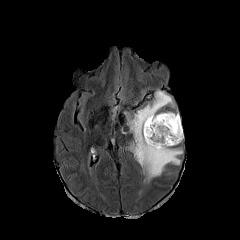
FLAIR magnetic resonance.
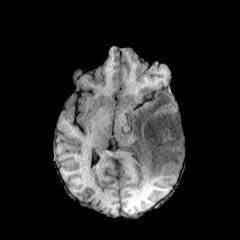
T1-weighted magnetic resonance of the same slice.
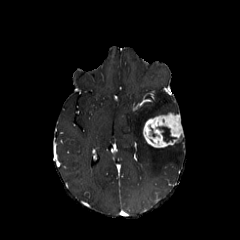
Post-contrast T1-weighted MR.
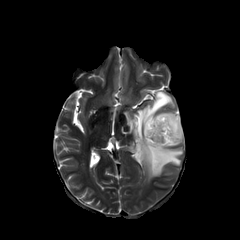
Same slice, T2-weighted magnetic resonance.
Axial plane
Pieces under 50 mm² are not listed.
* peritumoral edema: box=[127, 90, 182, 182]
* enhancing tumor: box=[143, 112, 183, 147]
* necrotic tumor core: box=[158, 127, 175, 142]